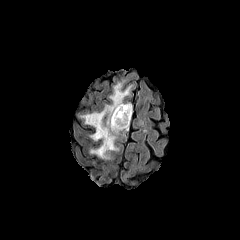
FLAIR MRI.
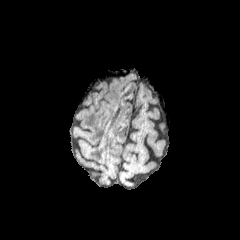
T1-weighted MR of the same slice.
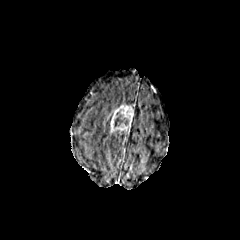
Same slice, post-contrast T1-weighted MR image.
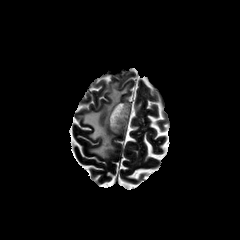
T2-weighted MRI.
Axial slice. 240x240 px.
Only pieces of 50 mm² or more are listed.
Annotated regions:
- necrotic tumor core: 114 115 127 126
- peritumoral edema: 81 83 131 159
- enhancing tumor: 110 104 133 133